Axial plane.
FLAIR MRI.
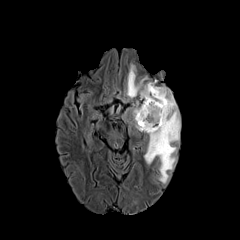
T1-weighted MRI.
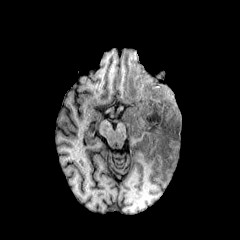
Post-contrast T1-weighted magnetic resonance.
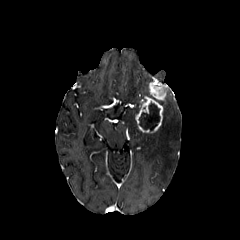
T2-weighted MR.
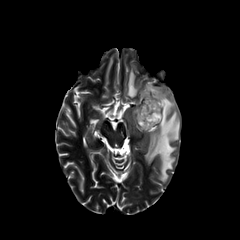
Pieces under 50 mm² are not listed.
The 3 largest peritumoral edema regions are bounded by rect(144, 89, 180, 183); rect(132, 106, 139, 128); rect(126, 64, 149, 99). The necrotic tumor core is located at rect(139, 102, 160, 130). 2 enhancing tumor regions are bounded by rect(148, 80, 167, 101); rect(135, 96, 163, 132).